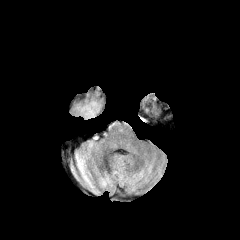
FLAIR magnetic resonance.
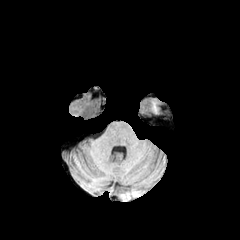
T1-weighted MR image.
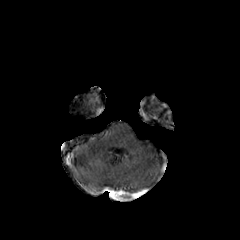
Post-contrast T1-weighted MR of the same slice.
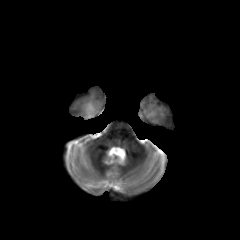
Same slice, T2-weighted MR image.
Axial slice
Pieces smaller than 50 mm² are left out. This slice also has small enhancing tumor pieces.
necrotic tumor core: (91,102,97,116) | peritumoral edema: (76,102,93,118)